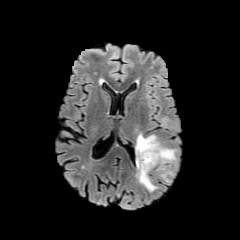
FLAIR magnetic resonance.
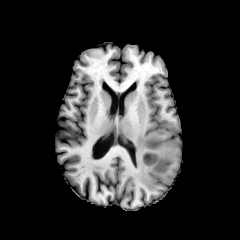
T1-weighted magnetic resonance.
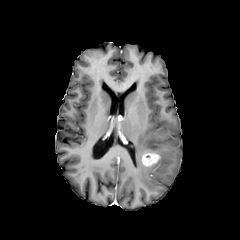
Post-contrast T1-weighted MRI.
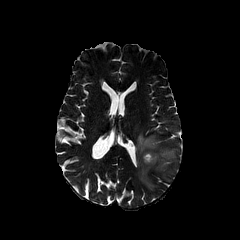
Same slice, T2-weighted MR.
240x240, Brain
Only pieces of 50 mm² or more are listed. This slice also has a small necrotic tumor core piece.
• enhancing tumor: [142, 152, 160, 166]
• peritumoral edema: [135, 134, 176, 191]